FLAIR MR image.
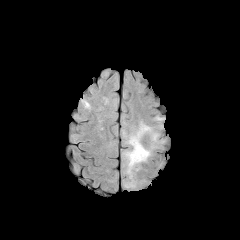
T1-weighted MR.
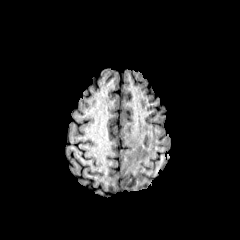
Post-contrast T1-weighted MR image.
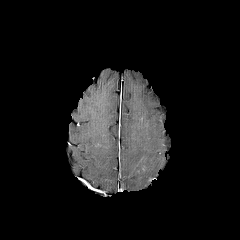
T2-weighted MRI.
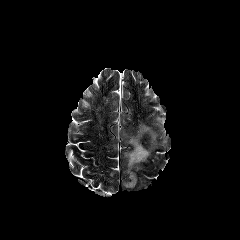
Brain | 240x240 px
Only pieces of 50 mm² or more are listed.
Annotated regions:
- peritumoral edema: l=124, t=122, r=158, b=187; l=155, t=116, r=165, b=128